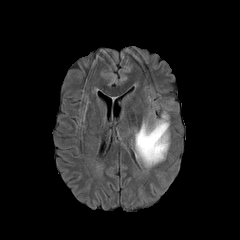
FLAIR MR.
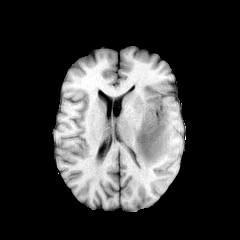
T1-weighted MR of the same slice.
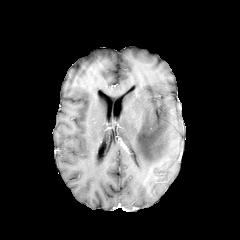
Post-contrast T1-weighted MR image.
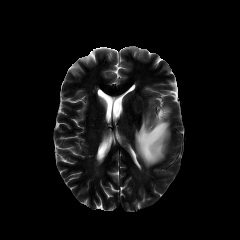
Same slice, T2-weighted MRI.
The peritumoral edema is at left=134, top=107, right=169, bottom=167.